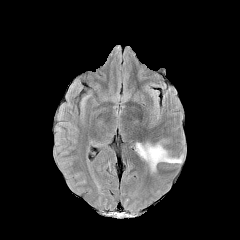
FLAIR magnetic resonance.
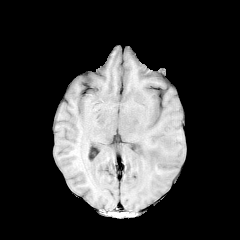
T1-weighted MR.
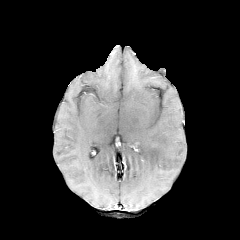
Post-contrast T1-weighted MRI of the same slice.
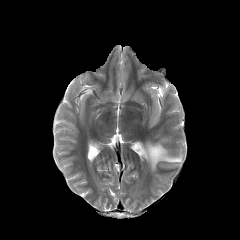
Same slice, T2-weighted magnetic resonance.
Axial plane
The peritumoral edema appears at 136 140 183 171.